FLAIR magnetic resonance.
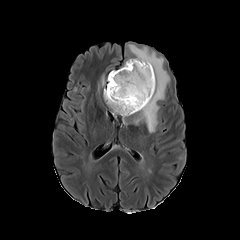
T1-weighted magnetic resonance.
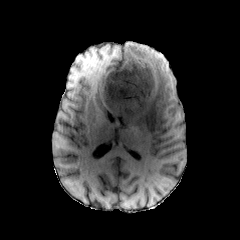
Post-contrast T1-weighted magnetic resonance.
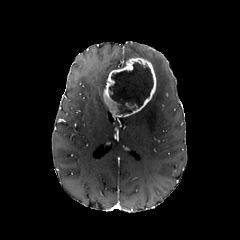
T2-weighted magnetic resonance.
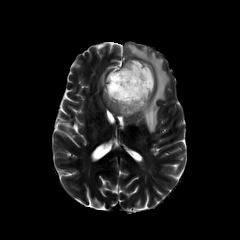
Axial plane.
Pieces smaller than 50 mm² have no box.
The largest peritumoral edema region lies within (left=130, top=45, right=169, bottom=132). The necrotic tumor core is bounded by (left=109, top=62, right=153, bottom=114). The enhancing tumor is located at (left=103, top=58, right=156, bottom=117).